Image width 240 mm, 1.00 mm slice spacing. Slice 21 of 155. Axial view.
FLAIR MR.
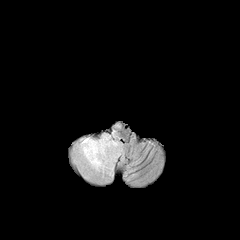
T1-weighted MR.
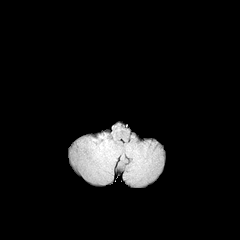
Post-contrast T1-weighted MRI.
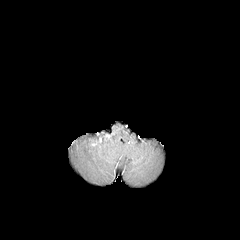
T2-weighted MR.
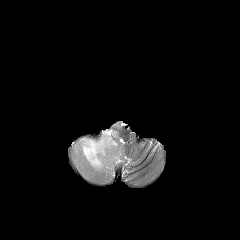
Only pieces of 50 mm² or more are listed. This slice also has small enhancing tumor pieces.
peritumoral edema: x1=72 y1=124 x2=124 y2=182